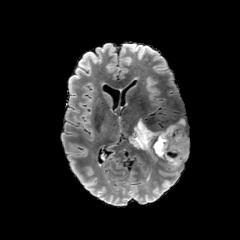
FLAIR magnetic resonance.
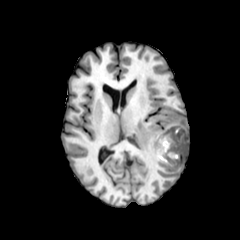
T1-weighted MR.
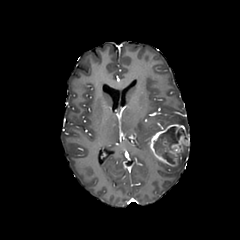
Same slice, post-contrast T1-weighted MR.
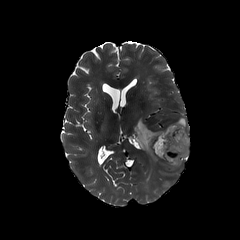
T2-weighted MR image.
240x240 | Axial slice | Head
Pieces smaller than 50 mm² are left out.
enhancing_tumor:
  - box=[149, 124, 189, 166]
peritumoral_edema:
  - box=[128, 118, 157, 154]
  - box=[172, 118, 187, 133]
  - box=[171, 152, 189, 168]
necrotic_tumor_core:
  - box=[153, 126, 183, 164]